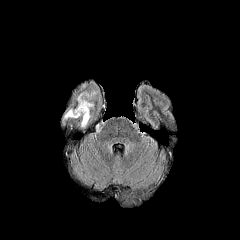
FLAIR MR image.
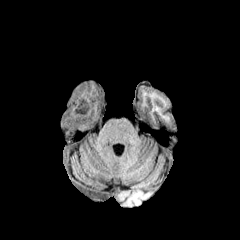
T1-weighted MR image.
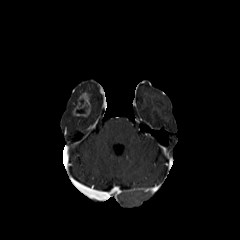
Same slice, post-contrast T1-weighted magnetic resonance.
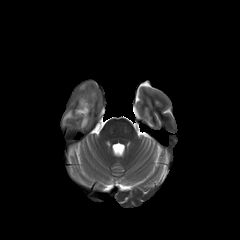
T2-weighted MR.
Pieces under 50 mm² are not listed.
<segmentation>
  <enhancing_tumor>[x1=73, y1=92, x2=90, y2=117]</enhancing_tumor>
  <peritumoral_edema>[x1=87, y1=90, x2=97, y2=100], [x1=81, y1=114, x2=90, y2=127], [x1=63, y1=108, x2=76, y2=121]</peritumoral_edema>
  <necrotic_tumor_core>[x1=76, y1=106, x2=88, y2=113]</necrotic_tumor_core>
</segmentation>